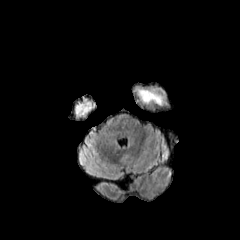
FLAIR magnetic resonance.
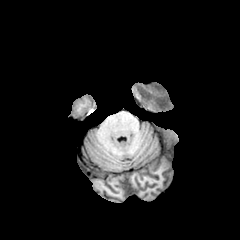
T1-weighted MRI.
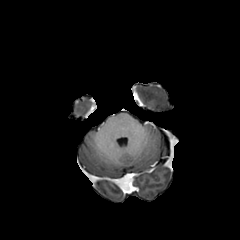
Post-contrast T1-weighted MRI.
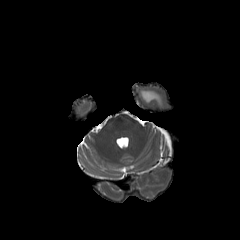
T2-weighted MR.
Brain.
peritumoral_edema:
  - 137, 89, 163, 105